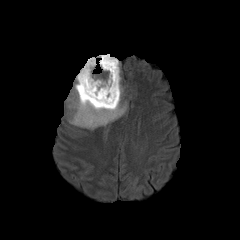
FLAIR MR image.
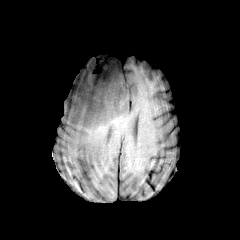
Same slice, T1-weighted MRI.
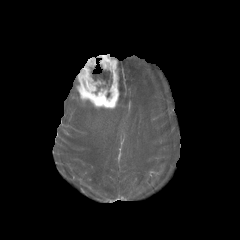
Same slice, post-contrast T1-weighted magnetic resonance.
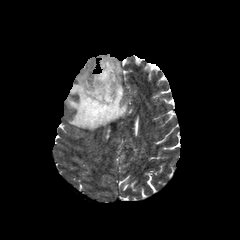
T2-weighted MRI of the same slice.
Head; 240x240; Axial view
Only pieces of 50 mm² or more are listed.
Findings:
* enhancing tumor: 76:54:119:108
* necrotic tumor core: 92:70:112:91
* peritumoral edema: 66:60:127:130